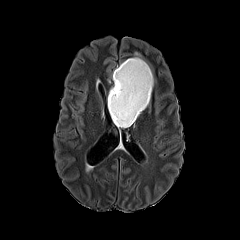
FLAIR magnetic resonance.
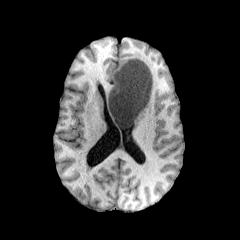
T1-weighted MR.
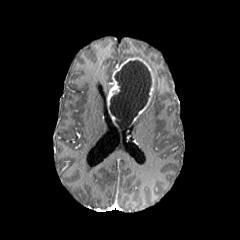
Post-contrast T1-weighted MR of the same slice.
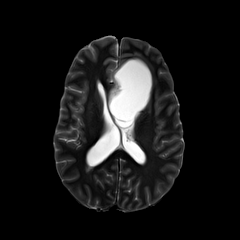
T2-weighted magnetic resonance.
Head
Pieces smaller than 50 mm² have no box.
{
  "enhancing_tumor": [
    "box=[107, 57, 154, 125]"
  ],
  "peritumoral_edema": [
    "box=[128, 52, 143, 59]"
  ],
  "necrotic_tumor_core": [
    "box=[109, 60, 151, 127]"
  ]
}